FLAIR MR.
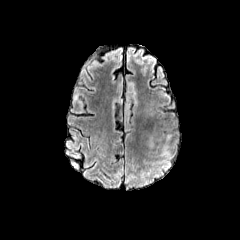
T1-weighted MR image.
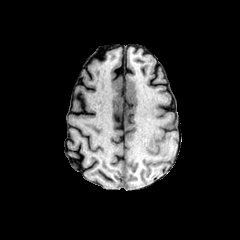
Post-contrast T1-weighted MRI.
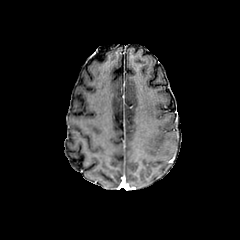
T2-weighted magnetic resonance.
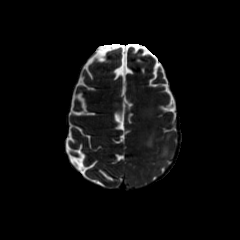
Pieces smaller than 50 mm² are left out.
The 2 largest peritumoral edema regions appear at (left=161, top=144, right=169, bottom=156), (left=142, top=131, right=155, bottom=147).